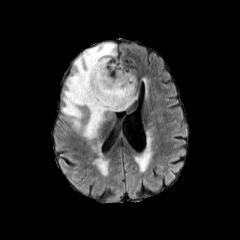
FLAIR MR.
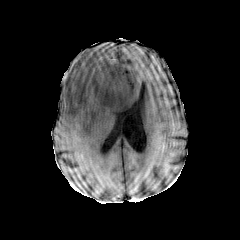
T1-weighted MR image.
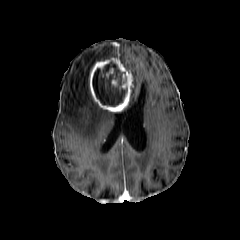
Post-contrast T1-weighted MR.
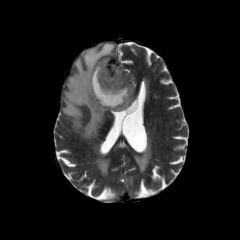
Same slice, T2-weighted MR.
Axial plane.
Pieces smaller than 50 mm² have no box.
The 2 largest peritumoral edema regions appear at [x1=129, y1=77, x2=137, y2=105], [x1=61, y1=42, x2=118, y2=139]. The 2 largest enhancing tumor regions appear at [x1=111, y1=78, x2=118, y2=86], [x1=89, y1=58, x2=133, y2=112]. The necrotic tumor core is bounded by [x1=92, y1=63, x2=126, y2=106].